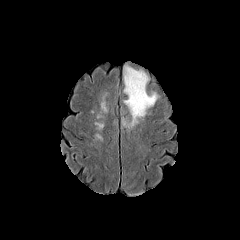
FLAIR MRI.
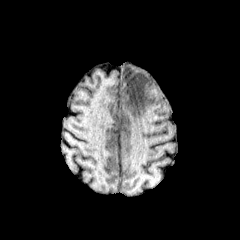
Same slice, T1-weighted MRI.
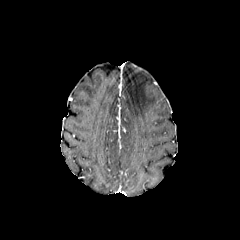
Post-contrast T1-weighted MR image of the same slice.
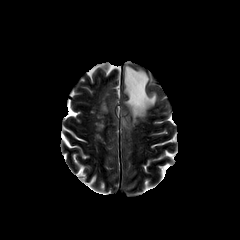
Same slice, T2-weighted MR image.
Axial plane
• peritumoral edema: 121,66,157,128